Image covers 240 mm x 240 mm. Slice 121/155. Brain.
FLAIR MRI.
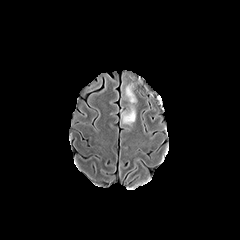
T1-weighted MR.
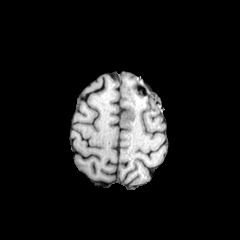
Post-contrast T1-weighted magnetic resonance.
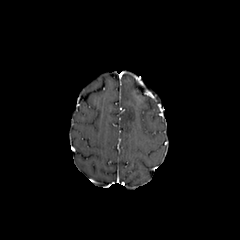
T2-weighted MR.
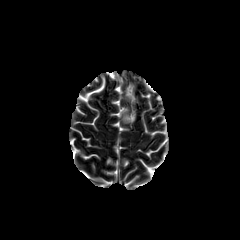
peritumoral edema = 125:82:137:104, 121:105:136:127